Brain.
FLAIR MR image.
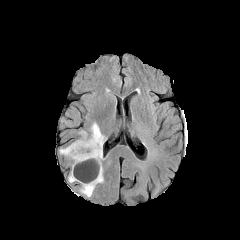
T1-weighted MR image.
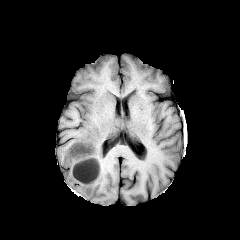
Post-contrast T1-weighted magnetic resonance.
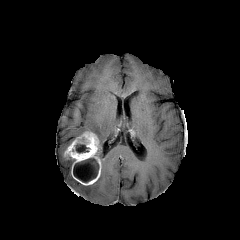
T2-weighted MR image.
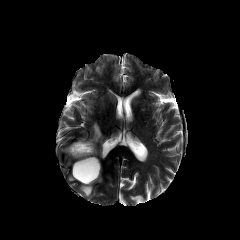
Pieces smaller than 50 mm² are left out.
{
  "necrotic_tumor_core": [
    "73:158:99:182",
    "75:143:89:153"
  ],
  "peritumoral_edema": [
    "91:122:104:159",
    "80:168:103:197"
  ],
  "enhancing_tumor": [
    "64:132:101:185"
  ]
}